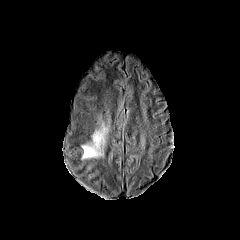
FLAIR magnetic resonance.
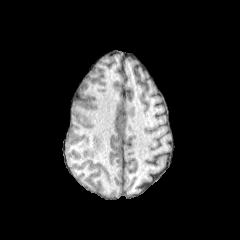
T1-weighted MR image.
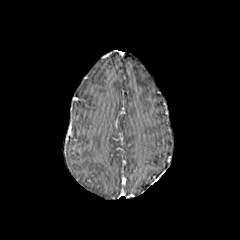
Same slice, post-contrast T1-weighted MRI.
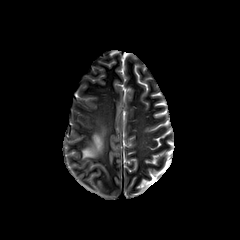
T2-weighted magnetic resonance.
Axial view; Head
peritumoral edema: bounding box 82 126 106 158